Axial plane; 240x240 px; Head
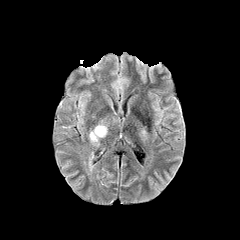
FLAIR MRI.
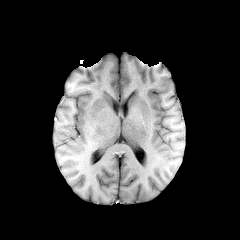
T1-weighted MR image.
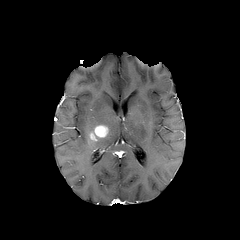
Post-contrast T1-weighted magnetic resonance.
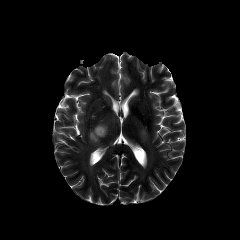
T2-weighted MRI.
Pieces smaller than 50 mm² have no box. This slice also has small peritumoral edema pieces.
<segmentation>
  <enhancing_tumor>(90, 125, 108, 140)</enhancing_tumor>
</segmentation>